FLAIR MRI.
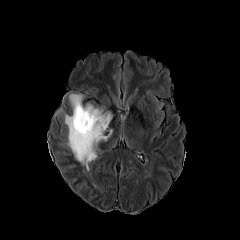
T1-weighted magnetic resonance.
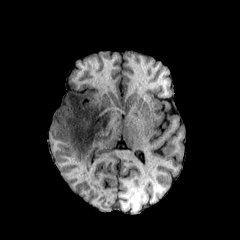
Post-contrast T1-weighted MR.
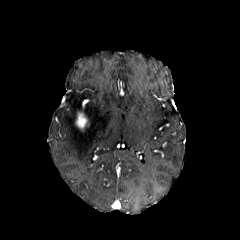
T2-weighted MR.
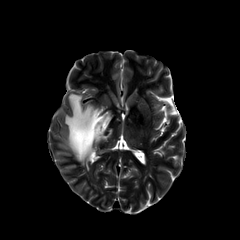
Image size 240x240; Axial view; Brain
{"enhancing_tumor": ["region(75, 111, 88, 130)"], "peritumoral_edema": ["region(55, 93, 112, 171)"]}